Axial plane, Brain, Image covers 240 mm x 240 mm, 240x240 px
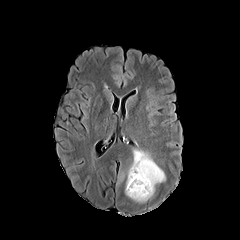
FLAIR MR image.
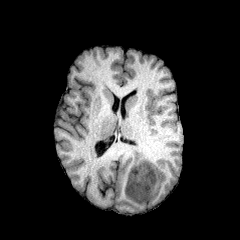
Same slice, T1-weighted MR.
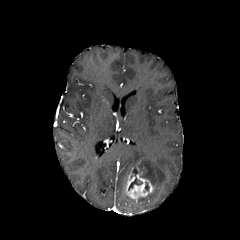
Post-contrast T1-weighted MRI.
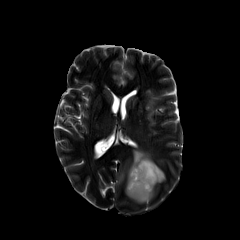
Same slice, T2-weighted MR image.
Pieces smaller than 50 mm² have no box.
peritumoral_edema:
  - box=[128, 149, 165, 185]
  - box=[138, 190, 154, 202]
enhancing_tumor:
  - box=[125, 166, 153, 200]
necrotic_tumor_core:
  - box=[128, 177, 142, 190]